Axial slice | Slice 72/155
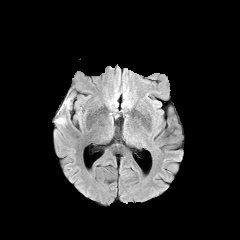
FLAIR MRI.
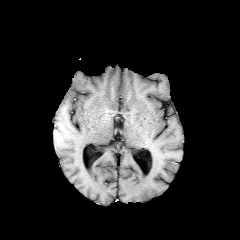
T1-weighted MR.
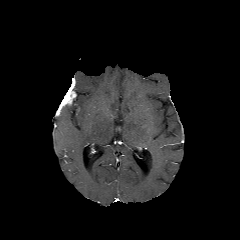
Post-contrast T1-weighted MR of the same slice.
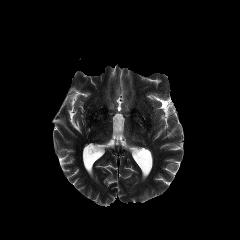
T2-weighted magnetic resonance.
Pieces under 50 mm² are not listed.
<segmentation>
  <peritumoral_edema>l=55, t=117, r=65, b=124</peritumoral_edema>
  <enhancing_tumor>l=57, t=78, r=75, b=114</enhancing_tumor>
</segmentation>